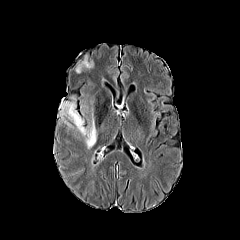
FLAIR magnetic resonance.
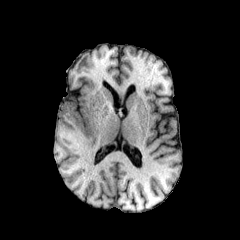
Same slice, T1-weighted magnetic resonance.
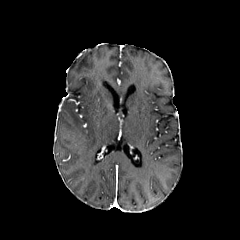
Post-contrast T1-weighted magnetic resonance.
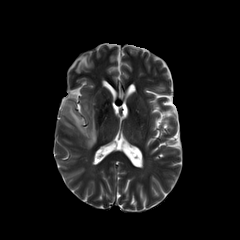
T2-weighted MR of the same slice.
240x240 px. Axial plane. Brain.
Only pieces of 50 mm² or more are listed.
• peritumoral edema: [60,94,97,148], [75,52,94,73]